Image covers 240 mm x 240 mm. Axial view.
FLAIR MR image.
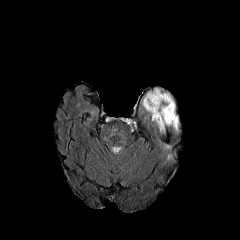
T1-weighted MRI.
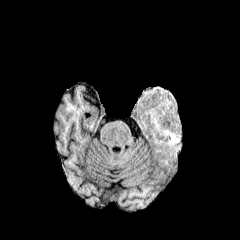
Post-contrast T1-weighted MR image.
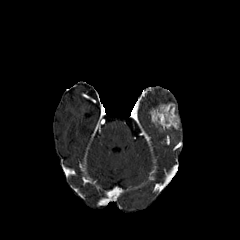
T2-weighted magnetic resonance.
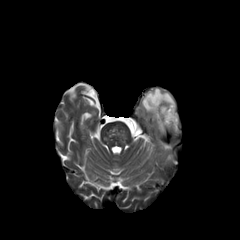
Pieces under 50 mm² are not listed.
The largest peritumoral edema region is located at (142, 88, 174, 112). The enhancing tumor lies within (150, 103, 179, 130).